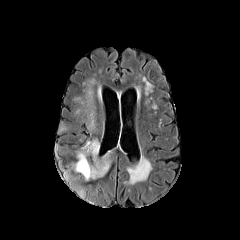
FLAIR magnetic resonance.
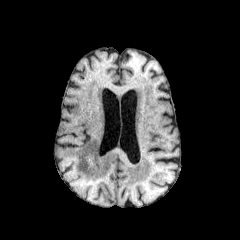
T1-weighted MR image.
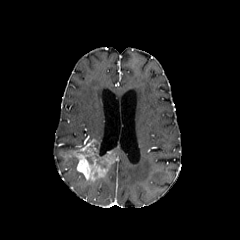
Post-contrast T1-weighted MRI of the same slice.
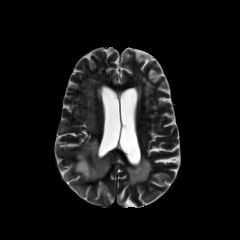
T2-weighted MRI of the same slice.
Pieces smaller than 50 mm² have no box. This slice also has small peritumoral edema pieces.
- necrotic tumor core: 94, 141, 105, 167
- enhancing tumor: 58, 139, 115, 181